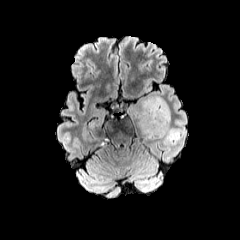
FLAIR MR image.
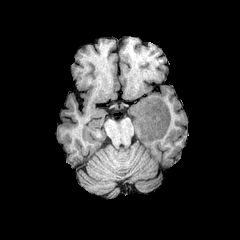
Same slice, T1-weighted MR image.
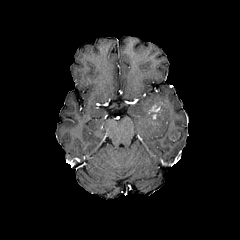
Same slice, post-contrast T1-weighted MRI.
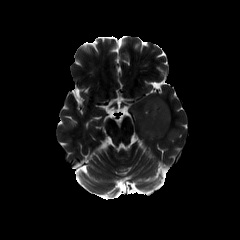
T2-weighted MR image of the same slice.
Head.
• enhancing tumor: <bbox>148, 101, 162, 119</bbox>
• peritumoral edema: <bbox>131, 95, 170, 140</bbox>